Brain, Axial plane
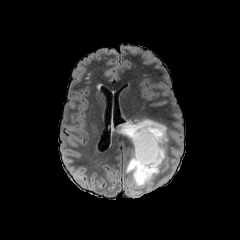
FLAIR MR image.
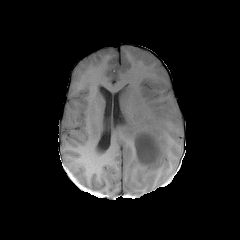
Same slice, T1-weighted magnetic resonance.
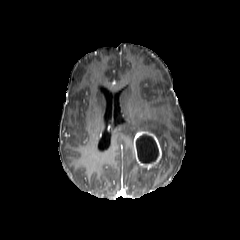
Post-contrast T1-weighted MR image of the same slice.
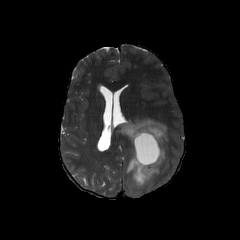
T2-weighted MRI.
{
  "necrotic_tumor_core": [
    "136:134:158:163"
  ],
  "peritumoral_edema": [
    "120:118:168:187"
  ],
  "enhancing_tumor": [
    "133:131:162:169"
  ]
}